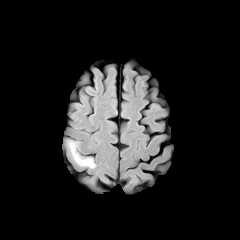
FLAIR MRI.
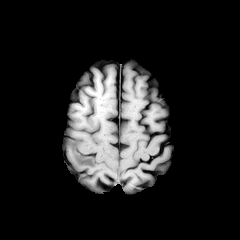
T1-weighted magnetic resonance.
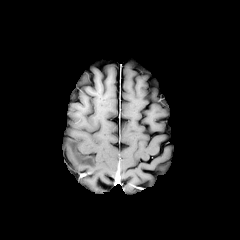
Same slice, post-contrast T1-weighted MR.
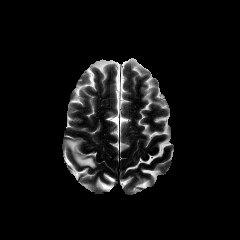
T2-weighted MRI of the same slice.
Head.
peritumoral edema at box(67, 140, 95, 167)